Image covers 240 mm x 240 mm | Image size 240x240 | Head
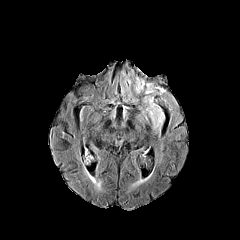
FLAIR MRI.
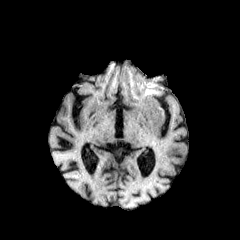
T1-weighted MR image of the same slice.
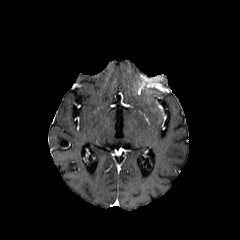
Post-contrast T1-weighted MR.
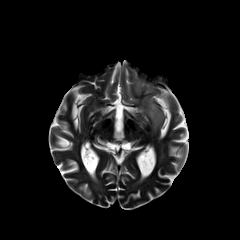
T2-weighted magnetic resonance of the same slice.
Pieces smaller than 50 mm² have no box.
peritumoral_edema:
  - 144 86 155 93
  - 144 96 164 130
  - 134 77 141 91
enhancing_tumor:
  - 137 78 165 92